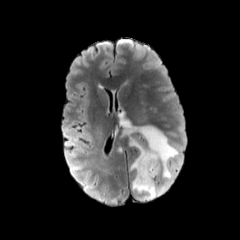
FLAIR MRI.
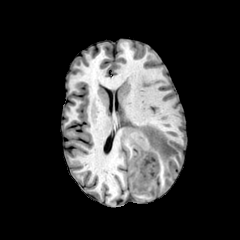
T1-weighted magnetic resonance of the same slice.
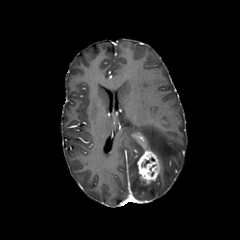
Same slice, post-contrast T1-weighted magnetic resonance.
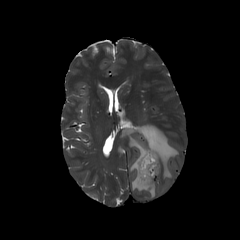
Same slice, T2-weighted magnetic resonance.
Axial slice. Head.
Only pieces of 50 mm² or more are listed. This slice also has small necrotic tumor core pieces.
peritumoral edema = box=[122, 125, 178, 199]
enhancing tumor = box=[135, 133, 160, 184]